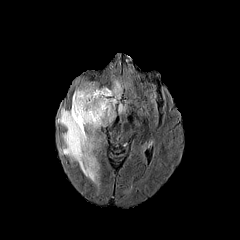
FLAIR magnetic resonance.
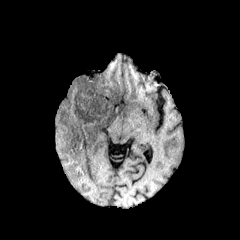
T1-weighted MRI.
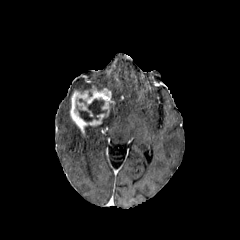
Post-contrast T1-weighted magnetic resonance.
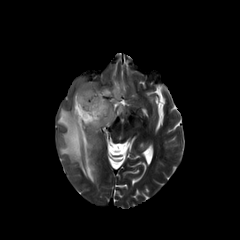
T2-weighted MR image.
Axial view
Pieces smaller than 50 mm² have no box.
necrotic tumor core: [76, 99, 106, 121]
peritumoral edema: [76, 82, 102, 91], [57, 79, 125, 183]
enhancing tumor: [70, 86, 114, 134]